Axial plane | Head
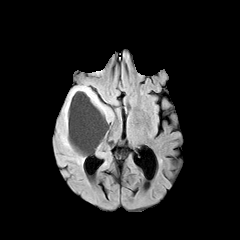
FLAIR MR image.
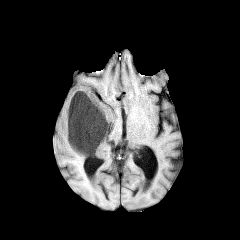
T1-weighted MR.
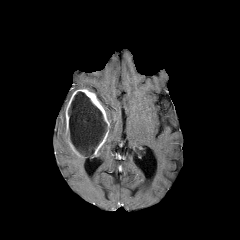
Post-contrast T1-weighted MR image.
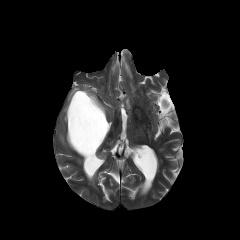
T2-weighted MRI.
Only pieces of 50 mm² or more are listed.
necrotic tumor core = box(68, 92, 107, 154)
enhancing tumor = box(65, 89, 110, 155)
peritumoral edema = box(102, 104, 113, 122); box(58, 83, 92, 151); box(72, 154, 92, 164)